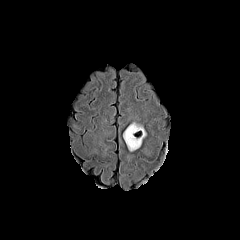
FLAIR MR image.
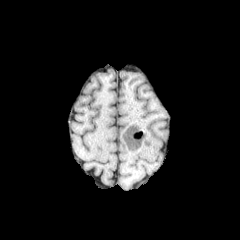
T1-weighted MR image of the same slice.
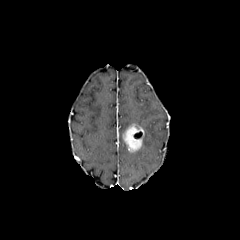
Same slice, post-contrast T1-weighted MRI.
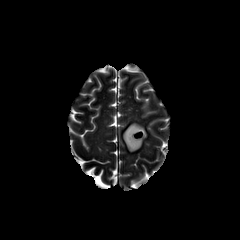
T2-weighted MR.
Head. Axial plane.
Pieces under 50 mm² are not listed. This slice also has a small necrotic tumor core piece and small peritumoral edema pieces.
enhancing tumor: bounding box rect(123, 123, 144, 151)